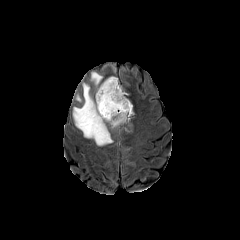
FLAIR magnetic resonance.
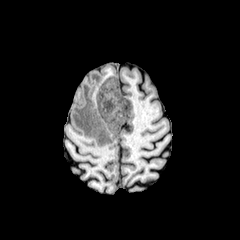
T1-weighted MR image of the same slice.
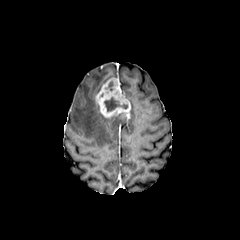
Post-contrast T1-weighted MR image of the same slice.
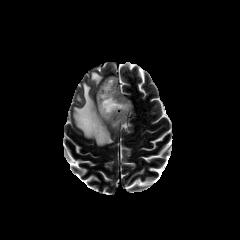
T2-weighted MRI.
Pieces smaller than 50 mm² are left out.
peritumoral edema: box(73, 83, 129, 145); box(91, 72, 102, 85)
necrotic tumor core: box(104, 97, 127, 111)
enhancing tumor: box(96, 78, 130, 118)